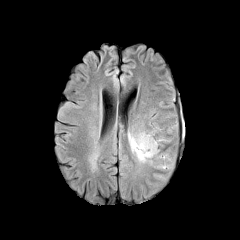
FLAIR MR image.
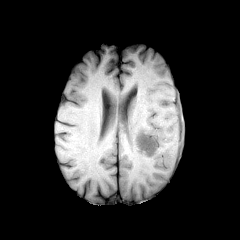
T1-weighted magnetic resonance.
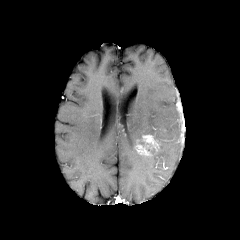
Post-contrast T1-weighted magnetic resonance of the same slice.
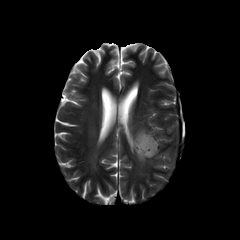
T2-weighted MR image.
Axial plane | Brain | 240x240 px
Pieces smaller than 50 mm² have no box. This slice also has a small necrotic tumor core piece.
peritumoral_edema:
  - box=[127, 131, 158, 162]
enhancing_tumor:
  - box=[136, 135, 158, 156]